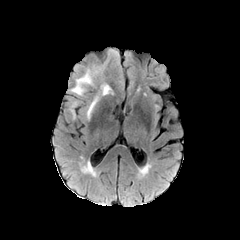
FLAIR MR.
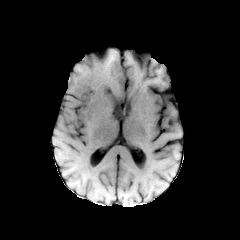
Same slice, T1-weighted MRI.
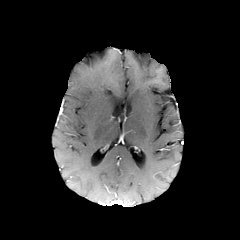
Post-contrast T1-weighted MR image of the same slice.
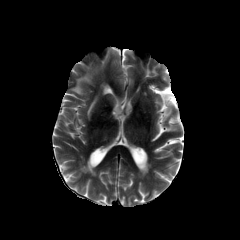
Same slice, T2-weighted magnetic resonance.
240x240 px, Brain, Axial slice
3 peritumoral edema regions are located at l=87, t=96, r=98, b=118; l=71, t=71, r=92, b=95; l=101, t=84, r=110, b=95.